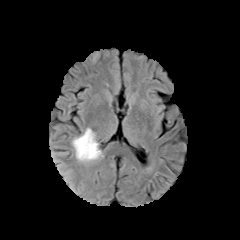
FLAIR magnetic resonance.
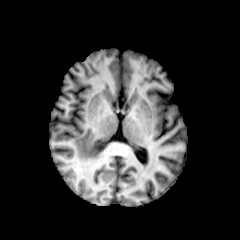
T1-weighted MRI of the same slice.
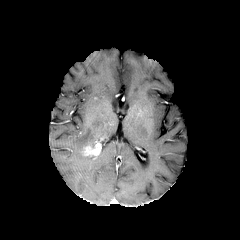
Post-contrast T1-weighted MR.
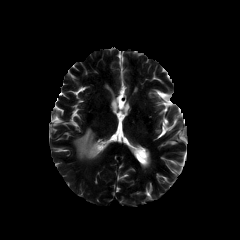
Same slice, T2-weighted magnetic resonance.
240x240; Axial plane
{
  "enhancing_tumor": [
    "(left=81, top=142, right=100, bottom=157)"
  ],
  "peritumoral_edema": [
    "(left=72, top=128, right=101, bottom=161)"
  ]
}